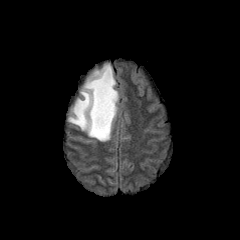
FLAIR magnetic resonance.
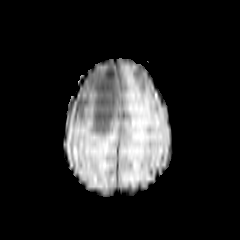
T1-weighted MR image of the same slice.
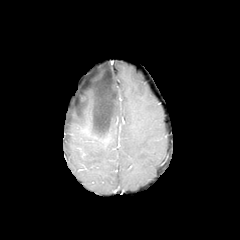
Post-contrast T1-weighted MRI of the same slice.
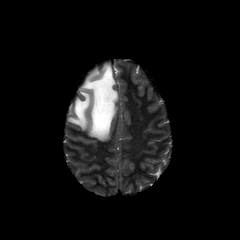
T2-weighted MRI.
Axial plane.
peritumoral edema — bbox=[68, 63, 118, 141]